240x240 px; Brain; Axial plane
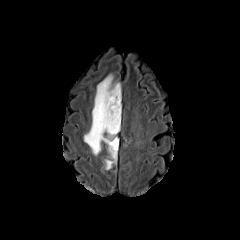
FLAIR MR.
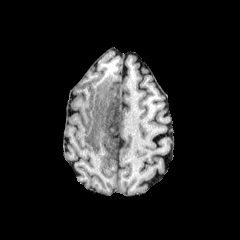
T1-weighted MR image of the same slice.
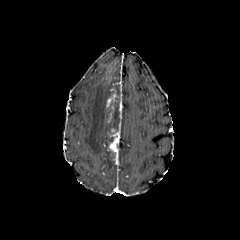
Same slice, post-contrast T1-weighted MRI.
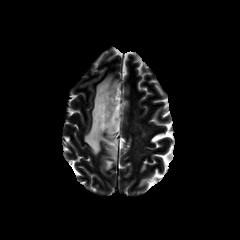
T2-weighted MR.
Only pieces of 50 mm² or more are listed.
The largest enhancing tumor region is bounded by left=105, top=85, right=121, bottom=154. The largest necrotic tumor core region appears at left=107, top=98, right=119, bottom=131. 2 peritumoral edema regions appear at left=84, top=74, right=118, bottom=155; left=105, top=151, right=116, bottom=169.